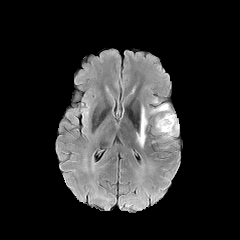
FLAIR MR.
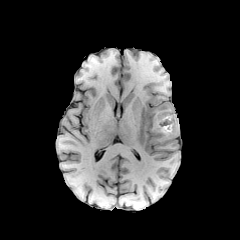
Same slice, T1-weighted magnetic resonance.
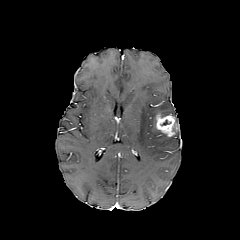
Post-contrast T1-weighted magnetic resonance.
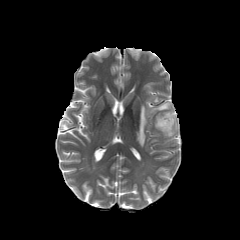
Same slice, T2-weighted MR.
240x240 px. Head.
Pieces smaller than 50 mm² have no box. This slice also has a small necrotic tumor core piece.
<segmentation>
  <enhancing_tumor>region(155, 114, 178, 137)</enhancing_tumor>
  <peritumoral_edema>region(149, 103, 178, 123); region(136, 105, 147, 147)</peritumoral_edema>
</segmentation>